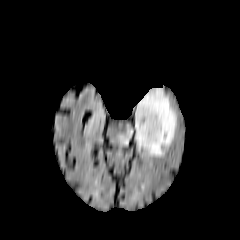
FLAIR MR image.
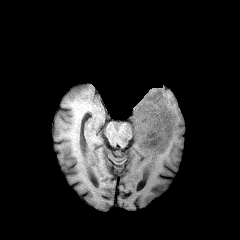
Same slice, T1-weighted MR image.
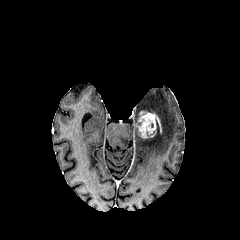
Post-contrast T1-weighted magnetic resonance.
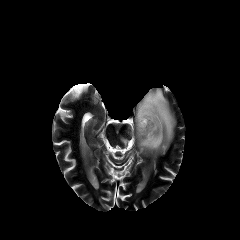
T2-weighted MR image.
Head
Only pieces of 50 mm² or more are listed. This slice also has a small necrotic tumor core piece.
{"enhancing_tumor": ["left=135, top=110, right=161, bottom=138"], "peritumoral_edema": ["left=120, top=88, right=176, bottom=155"]}